Image width 240 mm, 1.00 mm slice spacing | Head | Slice 96 of 155
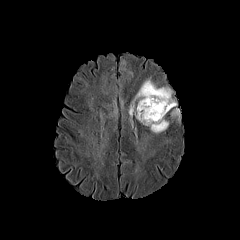
FLAIR MRI.
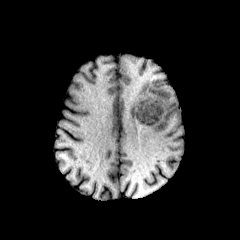
T1-weighted MRI.
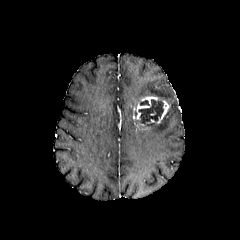
Post-contrast T1-weighted MRI.
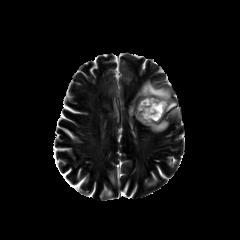
T2-weighted MRI.
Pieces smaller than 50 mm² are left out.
- peritumoral edema: x1=128, y1=79, x2=180, y2=121; x1=144, y1=118, x2=169, y2=133
- enhancing tumor: x1=133, y1=95, x2=170, y2=124
- necrotic tumor core: x1=138, y1=99, x2=163, y2=124